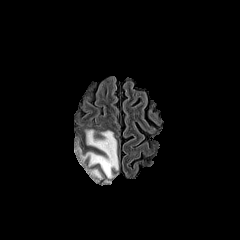
FLAIR magnetic resonance.
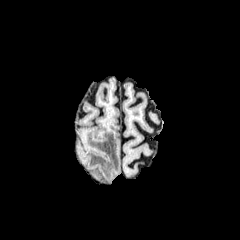
T1-weighted magnetic resonance.
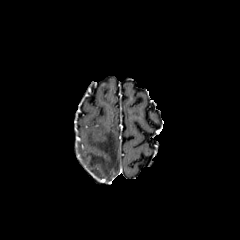
Same slice, post-contrast T1-weighted MR.
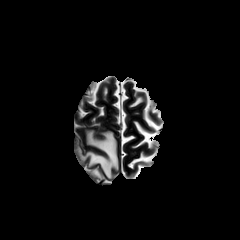
T2-weighted MR of the same slice.
240x240 px
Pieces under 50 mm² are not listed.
{
  "peritumoral_edema": [
    "<bbox>81, 130, 118, 178</bbox>",
    "<bbox>92, 169, 101, 178</bbox>"
  ]
}